Axial plane; Slice index 94; Brain
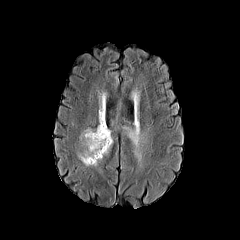
FLAIR MR.
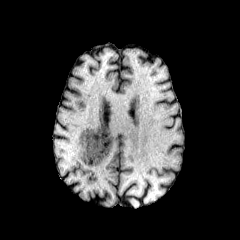
T1-weighted magnetic resonance.
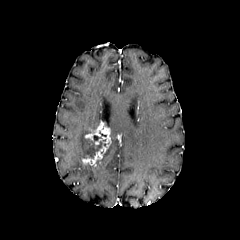
Post-contrast T1-weighted MRI of the same slice.
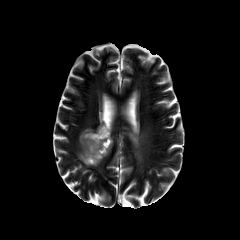
Same slice, T2-weighted MRI.
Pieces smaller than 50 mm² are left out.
peritumoral edema: rect(105, 133, 113, 154); rect(77, 150, 89, 160); rect(121, 124, 140, 147); rect(99, 92, 108, 123); rect(80, 127, 95, 138) | enhancing tumor: rect(82, 121, 111, 165) | necrotic tumor core: rect(89, 131, 106, 158)